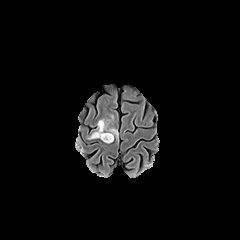
FLAIR MR.
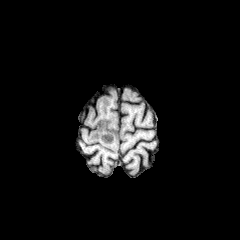
T1-weighted magnetic resonance.
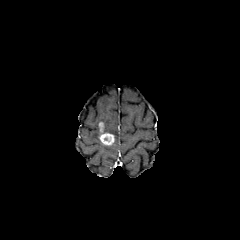
Post-contrast T1-weighted magnetic resonance.
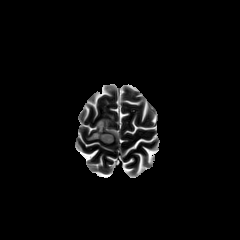
Same slice, T2-weighted MRI.
Axial slice
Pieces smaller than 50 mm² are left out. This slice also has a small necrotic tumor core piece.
The enhancing tumor is bounded by (x1=98, y1=122, x2=114, y2=145). The 2 largest peritumoral edema regions appear at (x1=88, y1=126, x2=99, y2=139), (x1=97, y1=119, x2=118, y2=141).